Axial slice. Head. Slice 47 of 155.
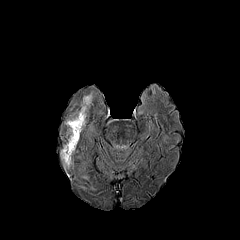
FLAIR MR.
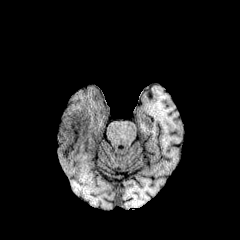
T1-weighted MR.
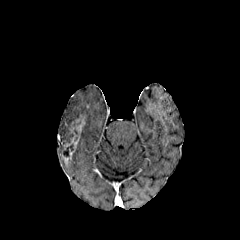
Same slice, post-contrast T1-weighted MR.
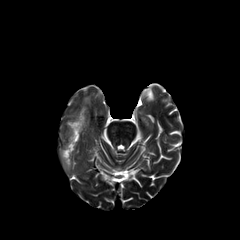
Same slice, T2-weighted MR image.
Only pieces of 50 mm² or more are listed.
enhancing_tumor:
  - (62,115,84,164)
peritumoral_edema:
  - (66,94,92,128)
  - (60,150,72,169)
necrotic_tumor_core:
  - (63,144,73,156)